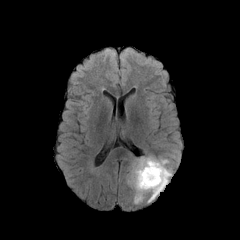
FLAIR MR.
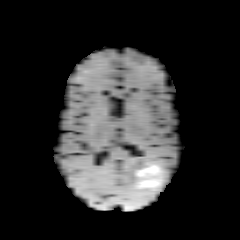
T1-weighted MR image of the same slice.
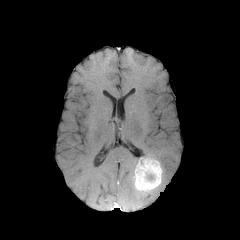
Post-contrast T1-weighted MR image.
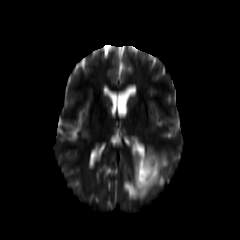
T2-weighted MR of the same slice.
Axial plane. 240x240 px. Brain.
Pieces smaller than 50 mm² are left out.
necrotic tumor core — box=[144, 174, 154, 181]
enhancing tumor — box=[133, 157, 162, 193]
peritumoral edema — box=[127, 154, 171, 203]